FLAIR magnetic resonance.
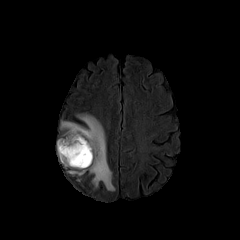
T1-weighted MR.
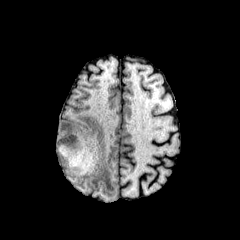
Post-contrast T1-weighted MRI.
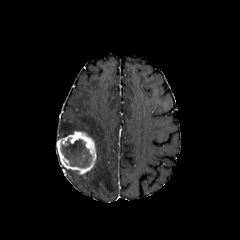
T2-weighted MR.
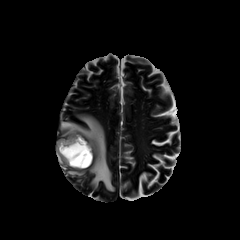
Axial view.
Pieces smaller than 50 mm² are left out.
Findings:
• necrotic tumor core: bbox(61, 140, 91, 167)
• enhancing tumor: bbox(56, 130, 96, 174)
• peritumoral edema: bbox(68, 169, 81, 175); bbox(60, 113, 115, 191)